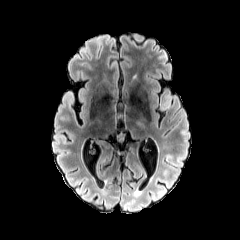
FLAIR MR image.
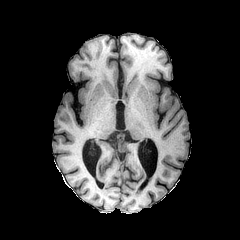
Same slice, T1-weighted MR image.
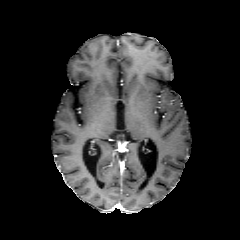
Post-contrast T1-weighted MR.
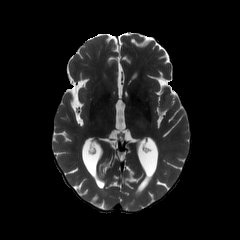
T2-weighted magnetic resonance of the same slice.
peritumoral_edema:
  - <box>160,95,170,110</box>